240x240 px, Axial view
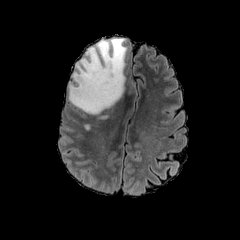
FLAIR MRI.
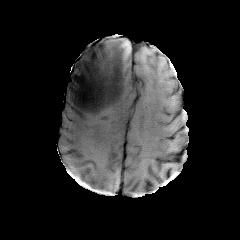
T1-weighted MRI.
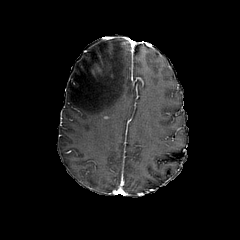
Post-contrast T1-weighted magnetic resonance.
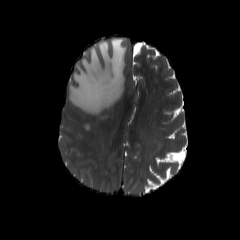
T2-weighted MRI of the same slice.
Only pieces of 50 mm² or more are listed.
enhancing tumor: (left=93, top=66, right=103, bottom=75)
peritumoral edema: (left=68, top=38, right=128, bottom=115)